FLAIR MRI.
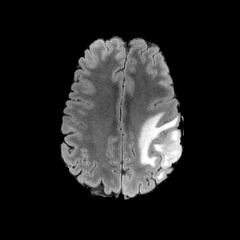
T1-weighted magnetic resonance.
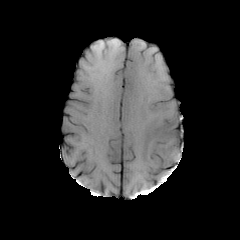
Post-contrast T1-weighted MRI.
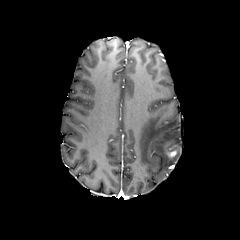
T2-weighted MR image.
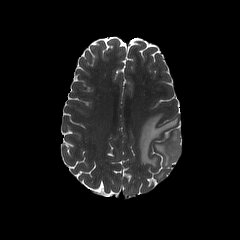
Axial view
Segmented structures:
* enhancing tumor: bbox=[167, 148, 177, 157]
* peritumoral edema: bbox=[138, 112, 181, 168]; bbox=[156, 170, 166, 180]